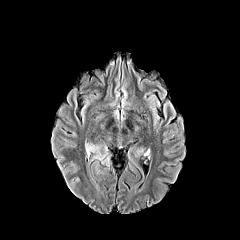
FLAIR MR image.
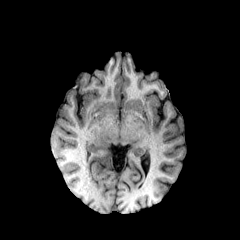
T1-weighted MR.
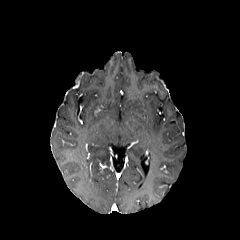
Post-contrast T1-weighted magnetic resonance of the same slice.
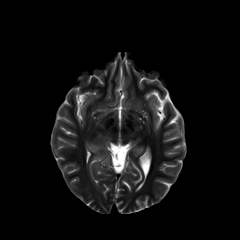
T2-weighted magnetic resonance.
Axial slice
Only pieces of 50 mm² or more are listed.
peritumoral edema: bounding box (88, 146, 104, 159)